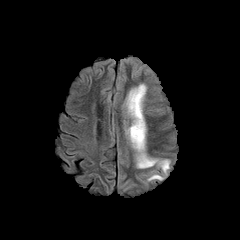
FLAIR MR.
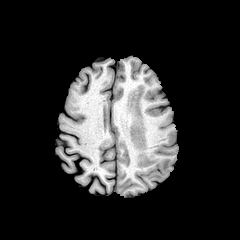
Same slice, T1-weighted MRI.
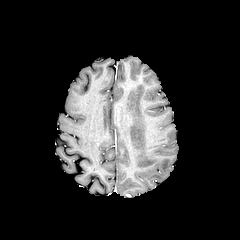
Same slice, post-contrast T1-weighted MR.
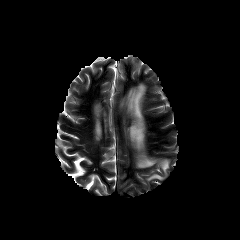
T2-weighted MR image.
Head
peritumoral_edema:
  - bbox(148, 174, 162, 180)
  - bbox(127, 84, 169, 173)